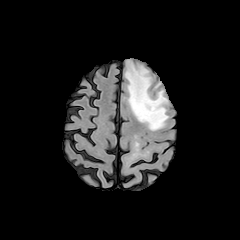
FLAIR MRI.
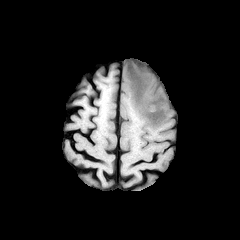
T1-weighted MRI.
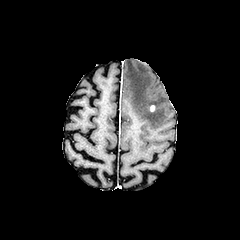
Post-contrast T1-weighted MR of the same slice.
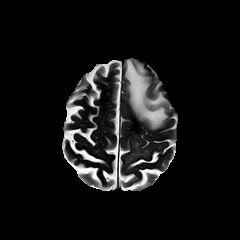
T2-weighted MR of the same slice.
Axial plane
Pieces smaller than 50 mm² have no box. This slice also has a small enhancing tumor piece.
{"peritumoral_edema": ["125 60 168 130"]}